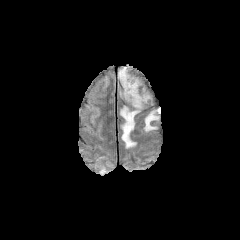
FLAIR magnetic resonance.
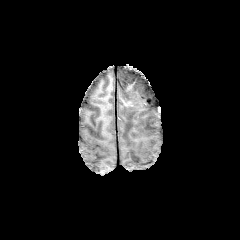
T1-weighted MR of the same slice.
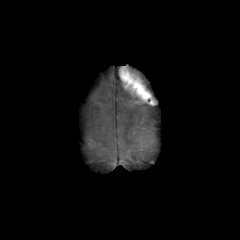
Same slice, post-contrast T1-weighted MR image.
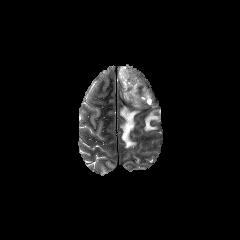
T2-weighted MR image.
Brain | Axial plane
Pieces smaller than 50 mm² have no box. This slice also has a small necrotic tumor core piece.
peritumoral edema at 145 109 160 130, 121 108 137 147, 121 87 152 108
enhancing tumor at 119 66 158 107